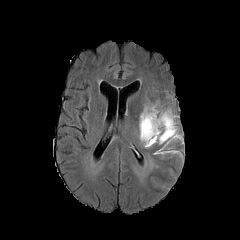
FLAIR magnetic resonance.
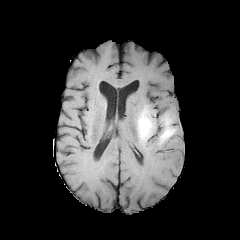
T1-weighted MR of the same slice.
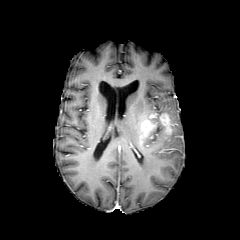
Same slice, post-contrast T1-weighted magnetic resonance.
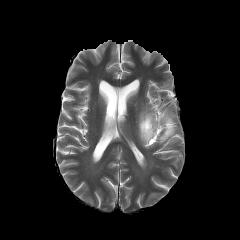
T2-weighted MR image of the same slice.
Brain | Axial slice
peritumoral edema: 139 103 180 150, 154 151 177 154 | enhancing tumor: 141 113 172 137